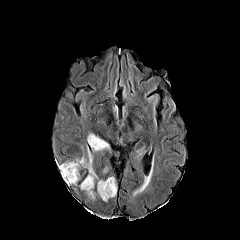
FLAIR MR image.
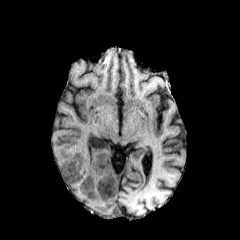
Same slice, T1-weighted magnetic resonance.
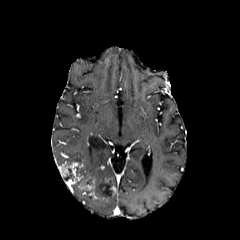
Post-contrast T1-weighted MRI of the same slice.
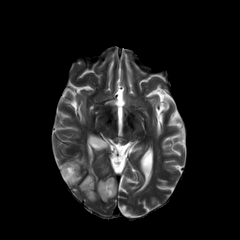
Same slice, T2-weighted MRI.
240x240 | Axial slice
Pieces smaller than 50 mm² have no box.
Segmented structures:
* enhancing tumor: [58, 162, 83, 185], [104, 177, 116, 194], [79, 176, 97, 199]
* necrotic tumor core: [98, 180, 112, 195]
* peritumoral edema: [98, 189, 115, 198], [76, 145, 97, 178], [87, 133, 109, 151]